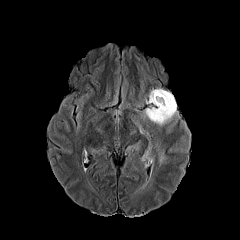
FLAIR MR image.
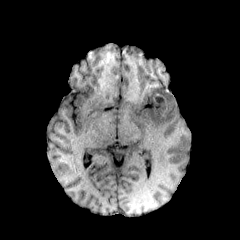
T1-weighted magnetic resonance.
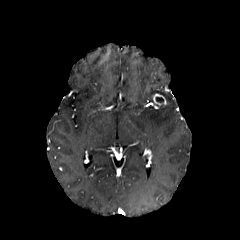
Same slice, post-contrast T1-weighted MR image.
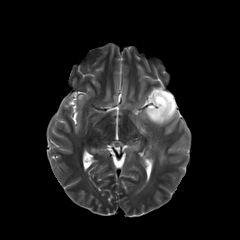
Same slice, T2-weighted magnetic resonance.
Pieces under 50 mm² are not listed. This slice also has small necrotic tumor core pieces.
peritumoral edema = (left=144, top=88, right=176, bottom=125)
enhancing tumor = (left=153, top=93, right=166, bottom=106)